FLAIR magnetic resonance.
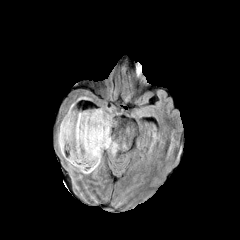
T1-weighted MR.
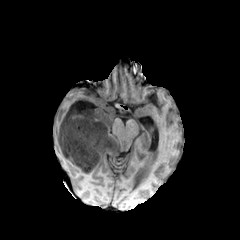
Post-contrast T1-weighted MRI.
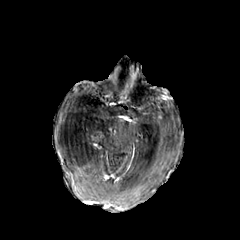
T2-weighted MR.
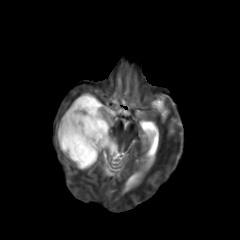
Axial slice
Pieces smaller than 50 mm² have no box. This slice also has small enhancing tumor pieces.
necrotic tumor core = {"x1": 58, "y1": 113, "x2": 103, "y2": 167}
peritumoral edema = {"x1": 57, "y1": 92, "x2": 118, "y2": 173}